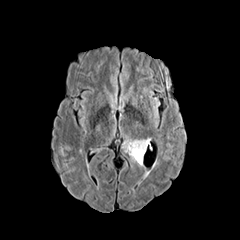
FLAIR MR.
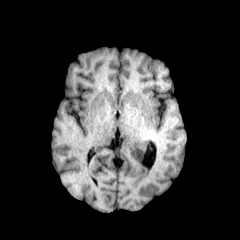
T1-weighted MRI.
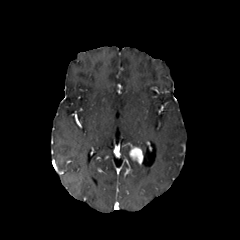
Post-contrast T1-weighted MR of the same slice.
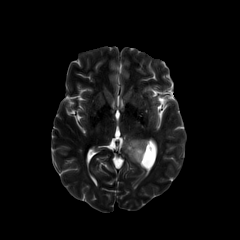
T2-weighted magnetic resonance.
240x240. Axial view.
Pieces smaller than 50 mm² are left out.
Annotated regions:
* enhancing tumor: x1=128, y1=143, x2=143, y2=164
* peritumoral edema: x1=130, y1=139, x2=149, y2=154